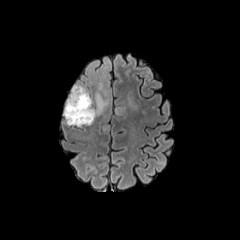
FLAIR MRI.
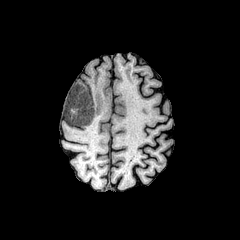
T1-weighted MR.
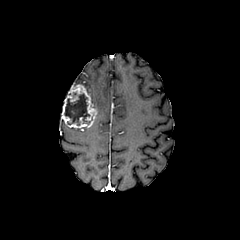
Same slice, post-contrast T1-weighted MR.
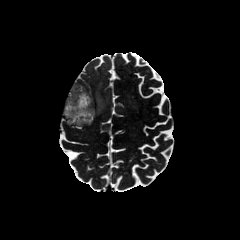
T2-weighted MR of the same slice.
Head; Axial slice; 240x240
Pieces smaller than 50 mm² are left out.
• peritumoral edema: x1=95 y1=61 x2=107 y2=115
• necrotic tumor core: x1=64 y1=94 x2=90 y2=125
• enhancing tumor: x1=61 y1=84 x2=97 y2=128